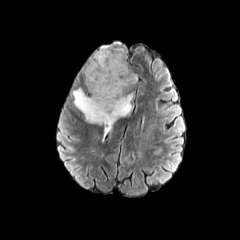
FLAIR MRI.
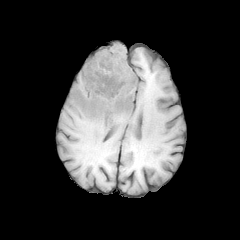
T1-weighted MR.
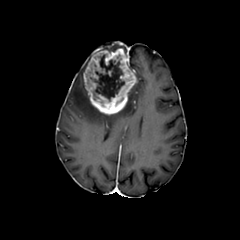
Same slice, post-contrast T1-weighted magnetic resonance.
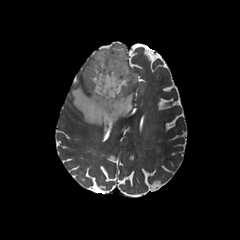
T2-weighted MR image of the same slice.
Image size 240x240 | Head
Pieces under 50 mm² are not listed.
The largest enhancing tumor region is bounded by (83,42,136,115). The 2 largest necrotic tumor core regions appear at (87,53,124,107), (115,97,124,107). The largest peritumoral edema region is bounded by (71,87,133,142).